FLAIR MRI.
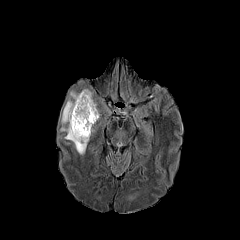
T1-weighted MR.
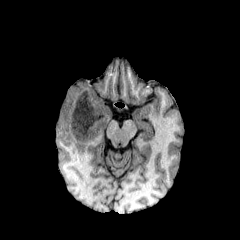
Post-contrast T1-weighted MR.
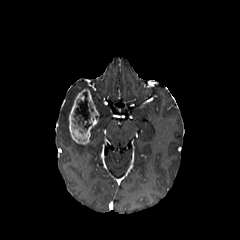
T2-weighted MRI.
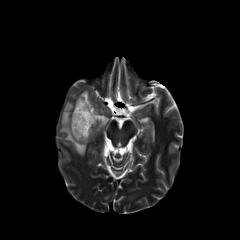
Axial view | Image size 240x240
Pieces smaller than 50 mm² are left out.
enhancing tumor: x1=69, y1=88, x2=99, y2=144
peritumoral edema: x1=60, y1=90, x2=86, y2=155
necrotic tumor core: x1=73, y1=91, x2=93, y2=132